Axial view; Slice index 64
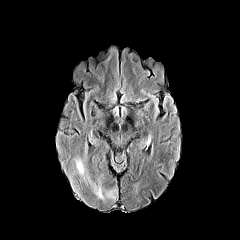
FLAIR MR image.
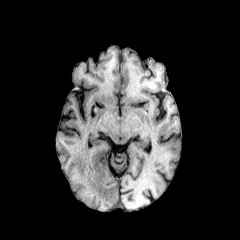
T1-weighted MR.
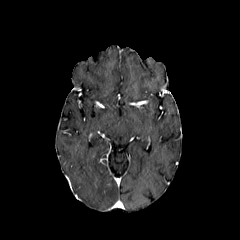
Post-contrast T1-weighted MRI.
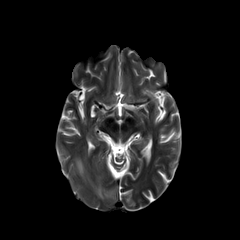
T2-weighted MRI.
{
  "peritumoral_edema": [
    "(74, 157, 115, 199)"
  ]
}